Image size 240x240 | Brain | Image width 240 mm
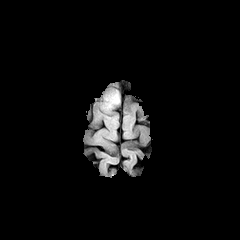
FLAIR MR.
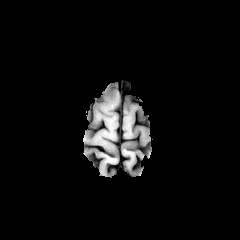
T1-weighted magnetic resonance.
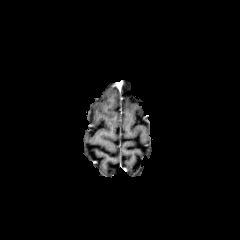
Post-contrast T1-weighted MR.
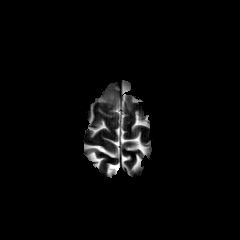
T2-weighted MR.
Segmented structures:
• peritumoral edema: <box>105,93,119,106</box>